Head; Slice index 107
FLAIR MR.
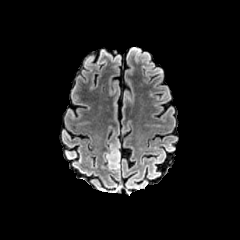
T1-weighted magnetic resonance.
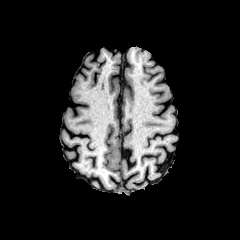
Post-contrast T1-weighted MRI.
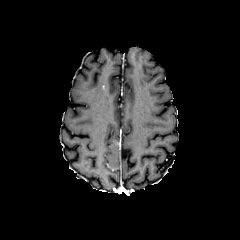
T2-weighted magnetic resonance.
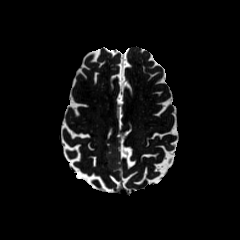
The peritumoral edema appears at region(103, 139, 120, 170).